FLAIR MR.
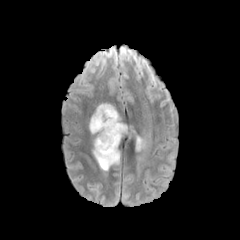
T1-weighted MR.
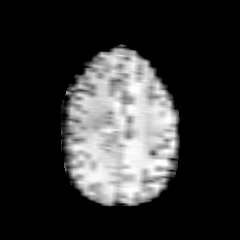
Post-contrast T1-weighted magnetic resonance.
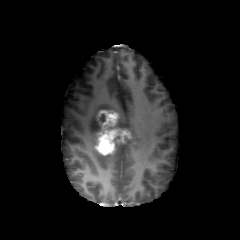
T2-weighted MR.
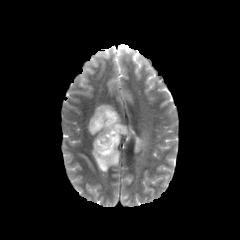
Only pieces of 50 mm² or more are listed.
enhancing_tumor:
  - box=[95, 110, 130, 155]
peritumoral_edema:
  - box=[93, 135, 121, 171]
  - box=[135, 135, 146, 151]
  - box=[109, 115, 127, 129]
  - box=[89, 103, 117, 134]